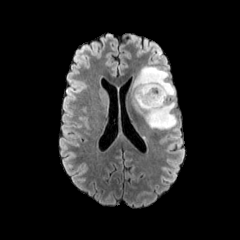
FLAIR magnetic resonance.
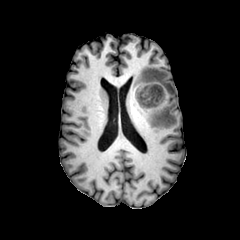
T1-weighted MR image of the same slice.
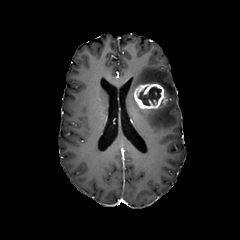
Post-contrast T1-weighted MR.
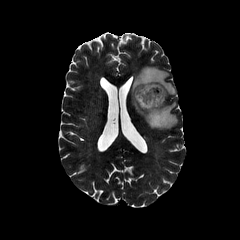
T2-weighted magnetic resonance of the same slice.
Head.
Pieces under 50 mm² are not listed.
Findings:
* necrotic tumor core: (137,86,161,105)
* enhancing tumor: (134,83,165,108)
* peritumoral edema: (130,66,176,129)